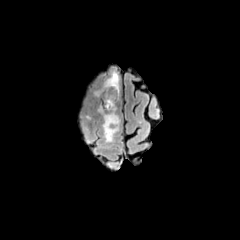
FLAIR MR.
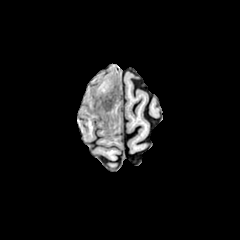
T1-weighted MRI.
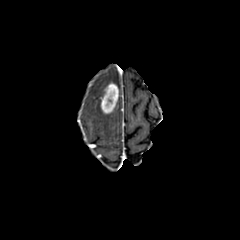
Post-contrast T1-weighted MR.
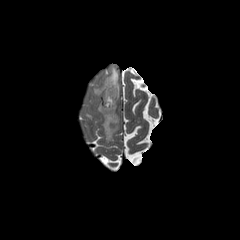
Same slice, T2-weighted MRI.
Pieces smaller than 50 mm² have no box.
Findings:
* peritumoral edema: x1=102, y1=107, x2=119, y2=142; x1=104, y1=68, x2=119, y2=95
* enhancing tumor: x1=101, y1=83, x2=118, y2=113